Image width 240 mm
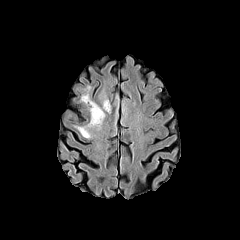
FLAIR MR.
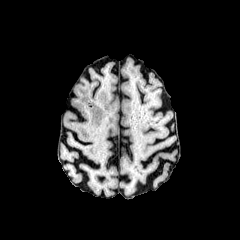
Same slice, T1-weighted MR image.
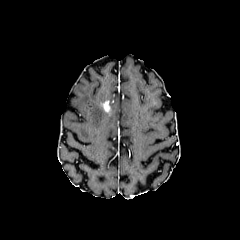
Post-contrast T1-weighted magnetic resonance of the same slice.
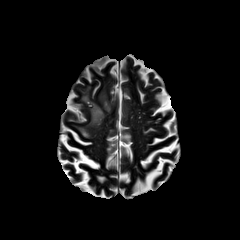
Same slice, T2-weighted magnetic resonance.
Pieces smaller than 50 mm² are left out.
The largest peritumoral edema region is at (left=76, top=86, right=105, bottom=138). The enhancing tumor appears at (left=102, top=100, right=110, bottom=112).